FLAIR MRI.
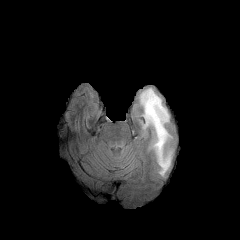
T1-weighted MRI.
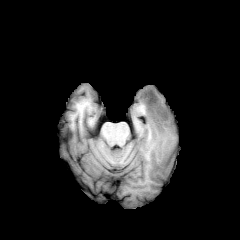
Post-contrast T1-weighted MR.
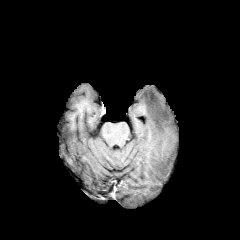
T2-weighted MRI.
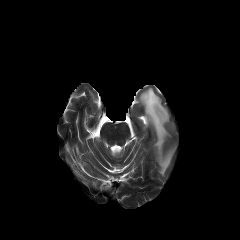
Axial plane. Brain. Image size 240x240.
peritumoral edema: box(139, 87, 173, 176)